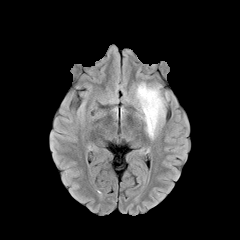
FLAIR MRI.
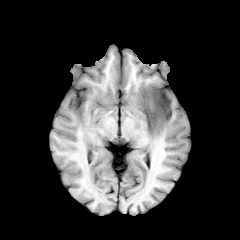
Same slice, T1-weighted MRI.
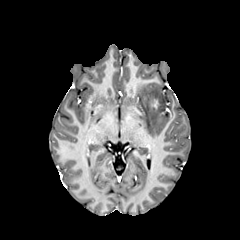
Post-contrast T1-weighted MR.
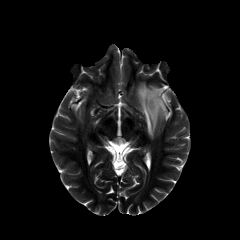
T2-weighted MR of the same slice.
Head. Axial plane.
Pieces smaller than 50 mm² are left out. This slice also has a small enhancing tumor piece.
<segmentation>
  <peritumoral_edema>x1=136, y1=83, x2=168, y2=138</peritumoral_edema>
</segmentation>